Brain.
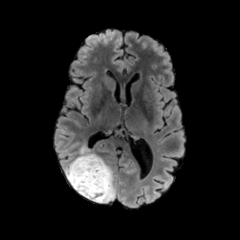
FLAIR MRI.
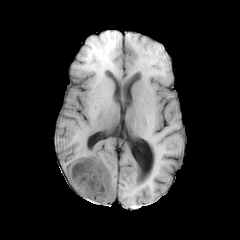
T1-weighted MR of the same slice.
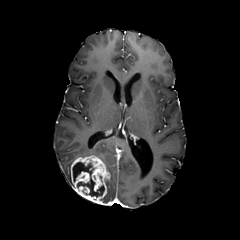
Post-contrast T1-weighted magnetic resonance.
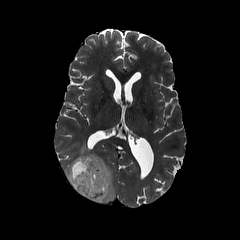
T2-weighted magnetic resonance.
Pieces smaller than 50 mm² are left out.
The largest enhancing tumor region is bounded by [70,155,110,203]. The largest necrotic tumor core region appears at [73,162,104,197]. The 3 largest peritumoral edema regions are located at [78,144,98,156], [64,158,76,184], [103,163,115,204].